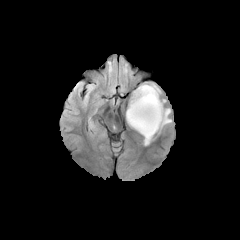
FLAIR MRI.
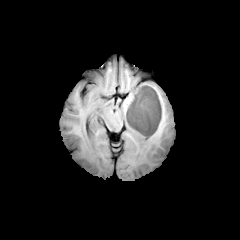
T1-weighted MR.
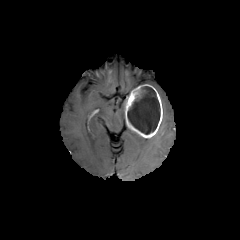
Same slice, post-contrast T1-weighted MR.
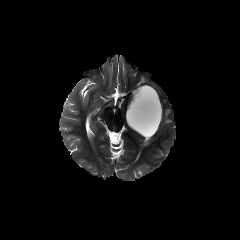
T2-weighted MRI.
Axial view
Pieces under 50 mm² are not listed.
Findings:
• enhancing tumor: {"x1": 125, "y1": 84, "x2": 162, "y2": 138}
• necrotic tumor core: {"x1": 127, "y1": 86, "x2": 159, "y2": 134}
• peritumoral edema: {"x1": 157, "y1": 107, "x2": 171, "y2": 132}, {"x1": 144, "y1": 137, "x2": 152, "y2": 145}